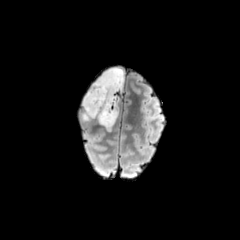
FLAIR MR image.
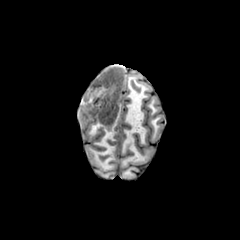
T1-weighted magnetic resonance.
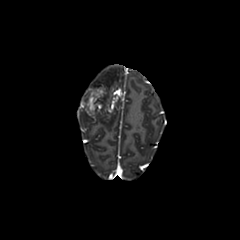
Post-contrast T1-weighted magnetic resonance.
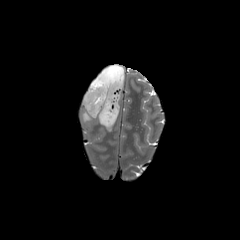
T2-weighted MR of the same slice.
240x240 px
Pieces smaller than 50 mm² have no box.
enhancing tumor = rect(81, 84, 121, 117)
peritumoral edema = rect(91, 67, 124, 89); rect(81, 103, 118, 130)